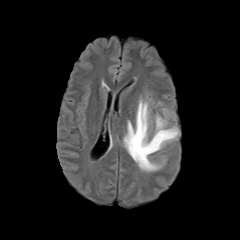
FLAIR magnetic resonance.
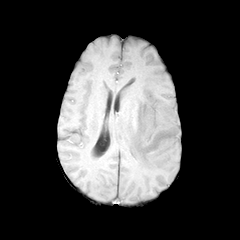
T1-weighted MRI of the same slice.
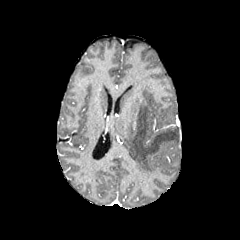
Post-contrast T1-weighted MR image of the same slice.
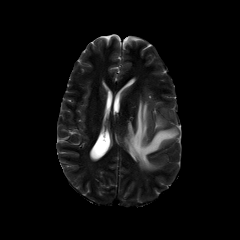
T2-weighted MR image.
Axial view
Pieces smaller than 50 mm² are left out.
Annotated regions:
- peritumoral edema: box(123, 96, 179, 171); box(156, 108, 175, 128)